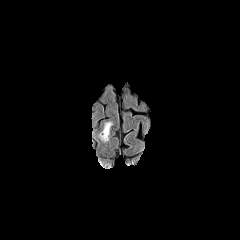
FLAIR MRI.
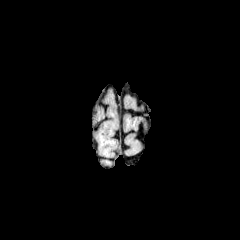
Same slice, T1-weighted MRI.
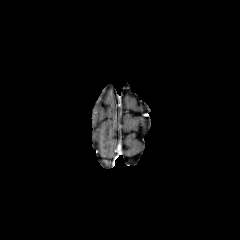
Post-contrast T1-weighted MR.
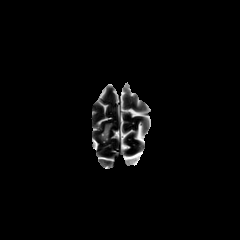
T2-weighted magnetic resonance.
Axial slice | Head
The peritumoral edema is located at region(100, 122, 111, 141).